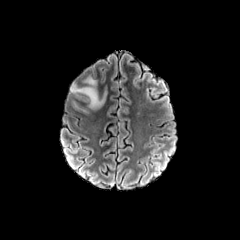
FLAIR MRI.
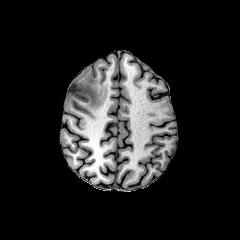
T1-weighted MRI.
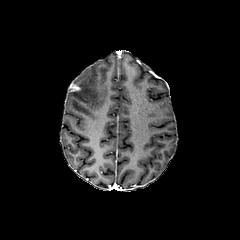
Same slice, post-contrast T1-weighted MRI.
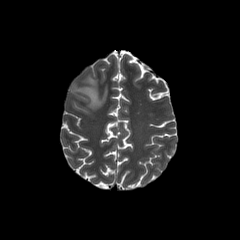
T2-weighted magnetic resonance.
<segmentation>
  <peritumoral_edema>l=71, t=76, r=106, b=109</peritumoral_edema>
  <enhancing_tumor>l=70, t=83, r=80, b=91</enhancing_tumor>
</segmentation>